FLAIR MR.
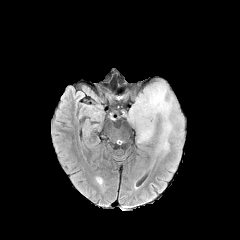
T1-weighted MRI.
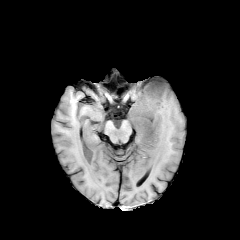
Post-contrast T1-weighted MR image.
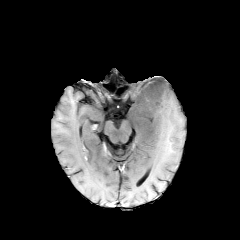
T2-weighted MR.
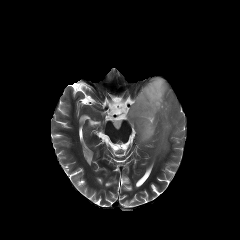
Axial plane, 240x240
- peritumoral edema: <box>128,76,183,161</box>